FLAIR MR image.
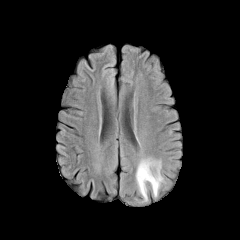
T1-weighted MR image.
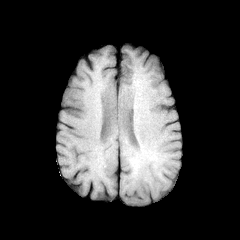
Post-contrast T1-weighted MR.
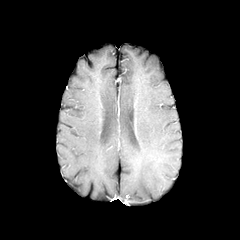
T2-weighted MRI.
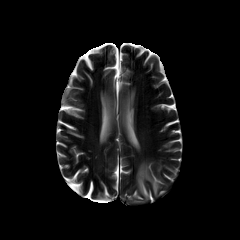
Head; Image size 240x240; Axial plane
peritumoral edema at region(136, 159, 163, 200)